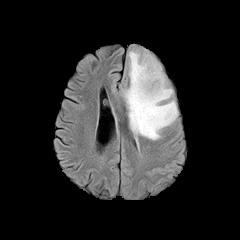
FLAIR MR image.
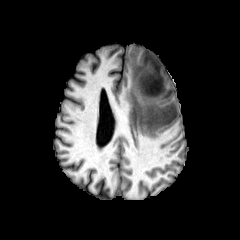
T1-weighted MRI.
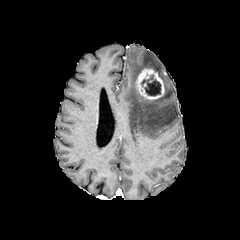
Post-contrast T1-weighted MR.
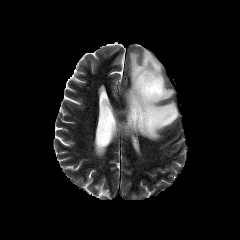
T2-weighted MR of the same slice.
Head. Axial plane.
- necrotic tumor core: box(141, 75, 161, 95)
- enhancing tumor: box(135, 68, 164, 100)
- peritumoral edema: box(124, 50, 178, 140)